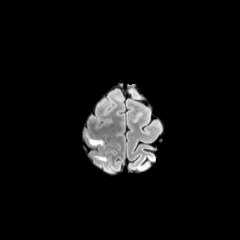
FLAIR MR image.
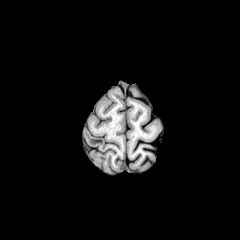
T1-weighted magnetic resonance.
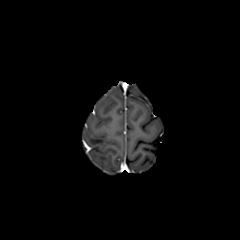
Same slice, post-contrast T1-weighted MR image.
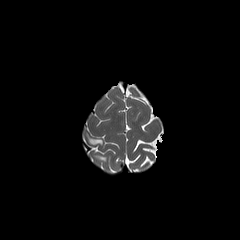
T2-weighted MR image.
240x240
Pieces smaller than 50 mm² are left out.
peritumoral edema: region(86, 133, 103, 144)